Head, Image size 240x240
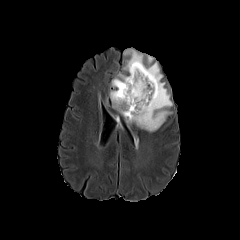
FLAIR magnetic resonance.
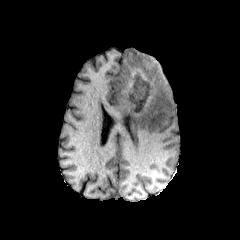
Same slice, T1-weighted magnetic resonance.
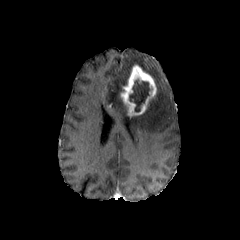
Same slice, post-contrast T1-weighted MRI.
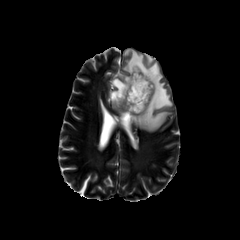
T2-weighted MR.
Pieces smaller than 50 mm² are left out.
Annotated regions:
- necrotic tumor core: l=129, t=80, r=149, b=111
- enhancing tumor: l=120, t=64, r=156, b=116
- peritumoral edema: l=123, t=49, r=172, b=131; l=109, t=73, r=128, b=116